Axial slice | Head
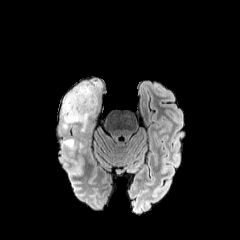
FLAIR magnetic resonance.
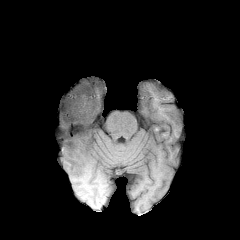
T1-weighted MRI.
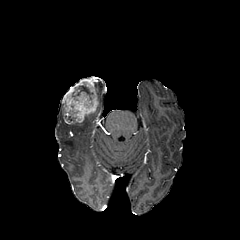
Post-contrast T1-weighted MR image.
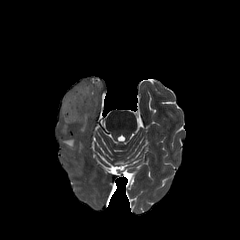
Same slice, T2-weighted MRI.
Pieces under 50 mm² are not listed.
Segmented structures:
• necrotic tumor core: x1=74 y1=82 x2=89 y2=93
• peritumoral edema: x1=61 y1=103 x2=68 y2=129, x1=95 y1=80 x2=102 y2=97, x1=64 y1=140 x2=74 y2=147
• enhancing tumor: x1=62 y1=77 x2=98 y2=124